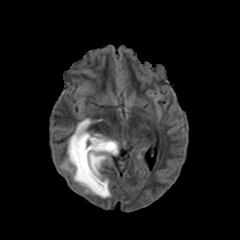
FLAIR MR image.
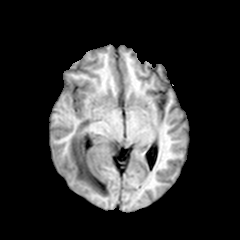
Same slice, T1-weighted MR image.
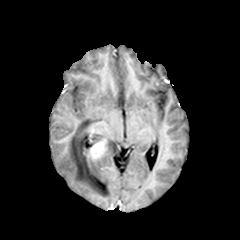
Post-contrast T1-weighted magnetic resonance of the same slice.
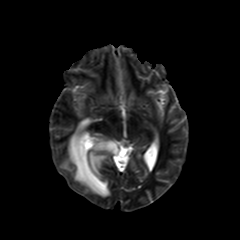
Same slice, T2-weighted MR.
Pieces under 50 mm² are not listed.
enhancing tumor at 83:139:106:161
peritumoral edema at 61:118:118:197